Axial plane, Slice 84 of 155, 240x240, Head
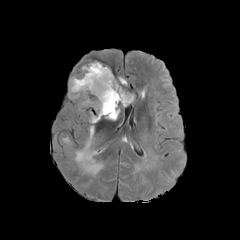
FLAIR magnetic resonance.
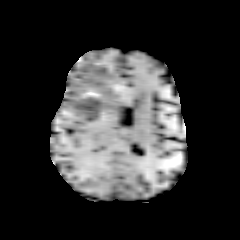
Same slice, T1-weighted MR.
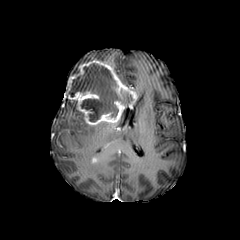
Post-contrast T1-weighted magnetic resonance of the same slice.
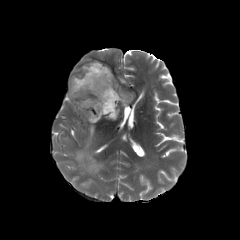
T2-weighted MRI of the same slice.
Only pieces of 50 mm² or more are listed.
enhancing tumor: bounding box (67,60,136,125)
necrotic tumor core: bounding box (68,64,131,121)
peritumoral edema: bounding box (74,126,103,173)